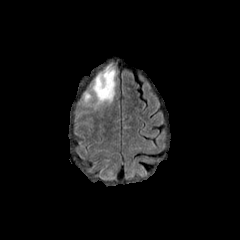
FLAIR MR image.
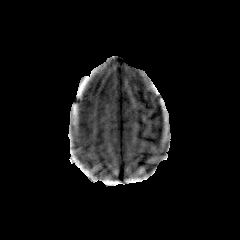
T1-weighted MR image of the same slice.
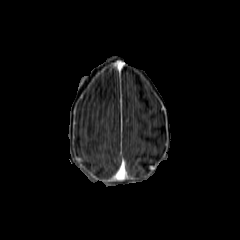
Post-contrast T1-weighted magnetic resonance.
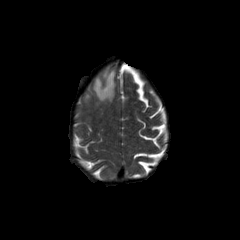
T2-weighted MRI.
Image size 240x240. Brain.
<segmentation>
  <peritumoral_edema>l=84, t=92, r=91, b=102; l=92, t=64, r=115, b=109</peritumoral_edema>
</segmentation>